Image width 240 mm, 1.00 mm slice spacing | Head | Slice 101 of 155 | Image size 240x240
FLAIR MR image.
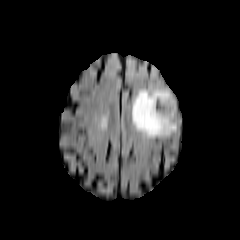
T1-weighted MR.
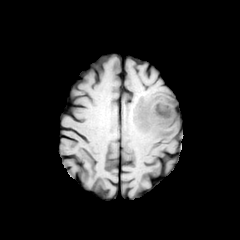
Post-contrast T1-weighted MRI.
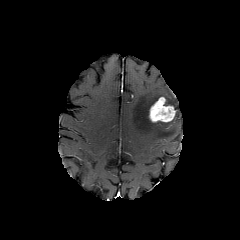
T2-weighted MR.
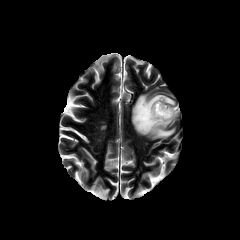
The peritumoral edema is located at [132, 87, 176, 138]. The enhancing tumor appears at [148, 96, 176, 122].